Axial slice | Slice 68/155 | Brain
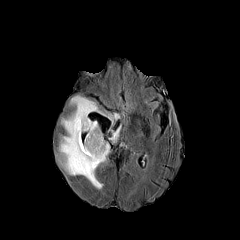
FLAIR MR.
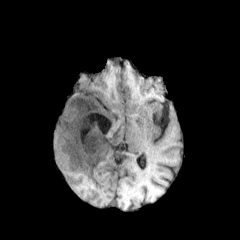
T1-weighted magnetic resonance of the same slice.
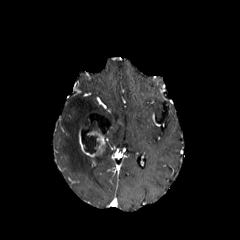
Post-contrast T1-weighted magnetic resonance of the same slice.
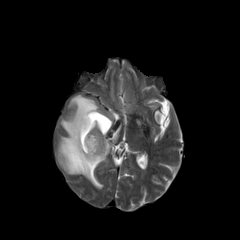
Same slice, T2-weighted magnetic resonance.
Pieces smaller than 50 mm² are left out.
<segmentation>
  <enhancing_tumor>[79,129,105,157]</enhancing_tumor>
  <necrotic_tumor_core>[82,135,99,154]</necrotic_tumor_core>
  <peritumoral_edema>[110,126,120,142], [58,95,109,188]</peritumoral_edema>
</segmentation>